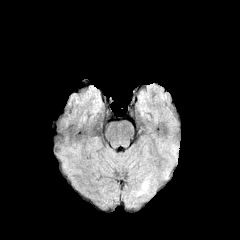
FLAIR MR image.
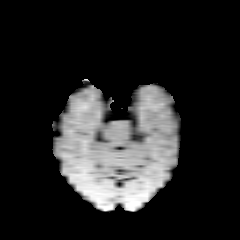
T1-weighted MRI of the same slice.
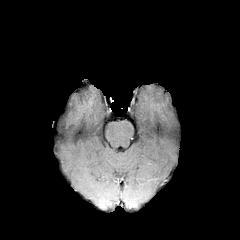
Same slice, post-contrast T1-weighted MR.
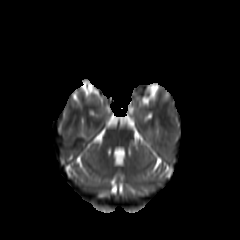
T2-weighted MRI.
Axial view.
peritumoral edema: (137,183,147,195)